Axial plane | 240x240 | Head
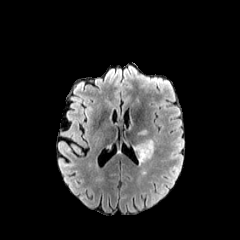
FLAIR MR image.
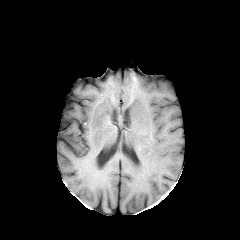
T1-weighted MR.
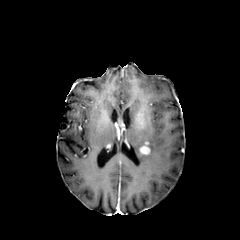
Post-contrast T1-weighted MR.
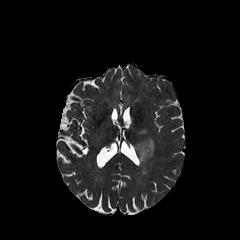
Same slice, T2-weighted MRI.
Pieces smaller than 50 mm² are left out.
The largest peritumoral edema region lies within [x1=134, y1=139, x2=154, y2=162]. The enhancing tumor is located at [x1=140, y1=142, x2=150, y2=154].